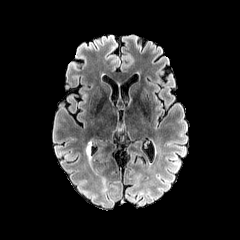
FLAIR MR.
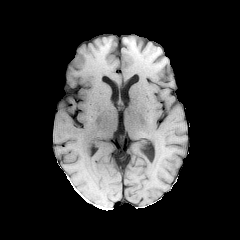
T1-weighted magnetic resonance of the same slice.
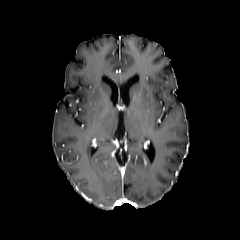
Same slice, post-contrast T1-weighted MRI.
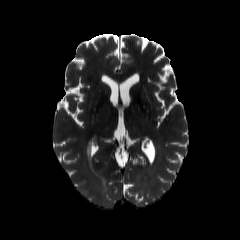
T2-weighted magnetic resonance.
Axial plane, Brain, 240x240 px
peritumoral edema — bbox=[86, 142, 91, 159]